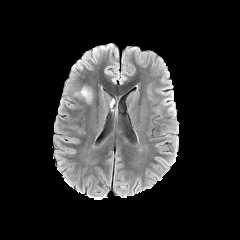
FLAIR MRI.
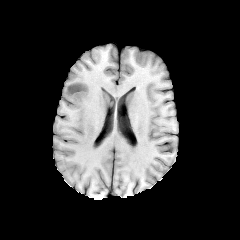
T1-weighted magnetic resonance of the same slice.
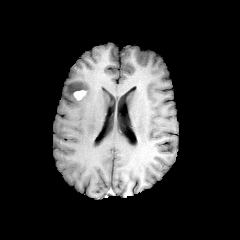
Post-contrast T1-weighted MRI of the same slice.
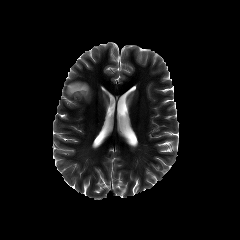
T2-weighted MR image of the same slice.
Axial view
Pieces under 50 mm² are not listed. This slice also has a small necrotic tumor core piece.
2 peritumoral edema regions are bounded by x1=79, y1=86, x2=91, y2=102; x1=65, y1=85, x2=78, y2=93. The enhancing tumor is bounded by x1=74, y1=90, x2=86, y2=99.